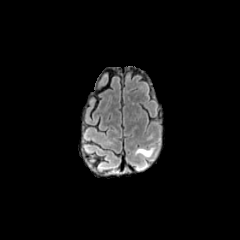
FLAIR MRI.
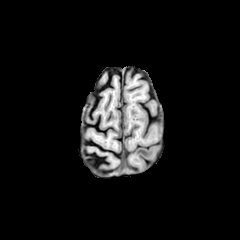
T1-weighted magnetic resonance.
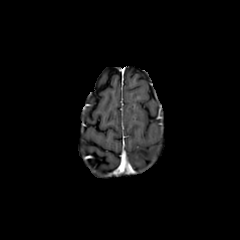
Post-contrast T1-weighted MR image of the same slice.
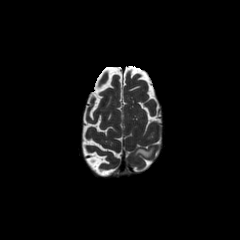
T2-weighted magnetic resonance.
Image size 240x240 | Brain
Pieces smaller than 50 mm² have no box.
peritumoral edema — rect(135, 147, 155, 157)